FLAIR MR image.
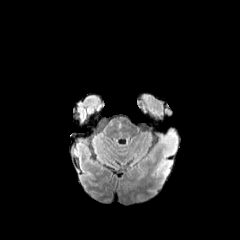
T1-weighted MRI.
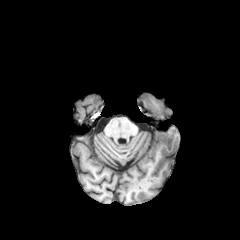
Post-contrast T1-weighted MR.
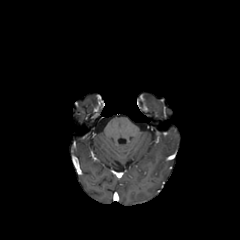
T2-weighted MRI.
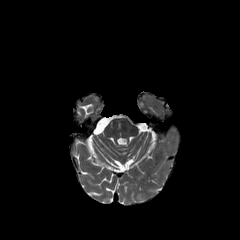
Image size 240x240.
<segmentation>
  <peritumoral_edema>143 93 153 99</peritumoral_edema>
</segmentation>